FLAIR MRI.
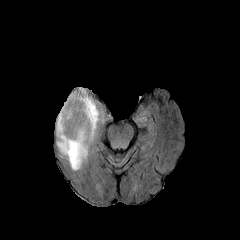
T1-weighted magnetic resonance.
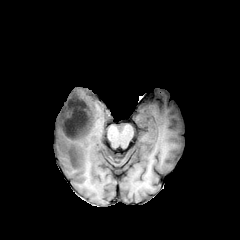
Post-contrast T1-weighted MRI.
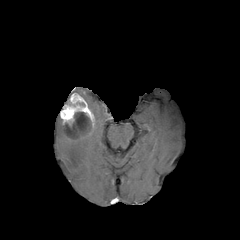
T2-weighted MR image.
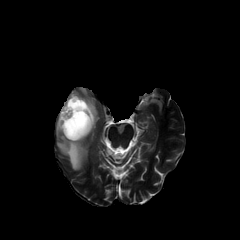
Axial plane, Head
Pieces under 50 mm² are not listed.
The largest peritumoral edema region appears at 55:87:101:170. The enhancing tumor lies within 60:93:95:141. 2 necrotic tumor core regions are located at 67:100:84:108, 65:112:91:139.